FLAIR MR.
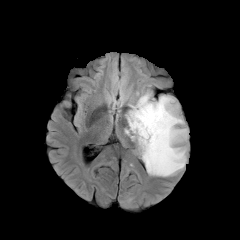
T1-weighted MR image.
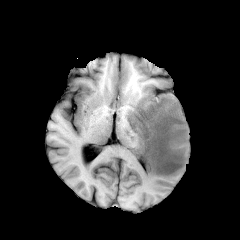
Post-contrast T1-weighted MRI.
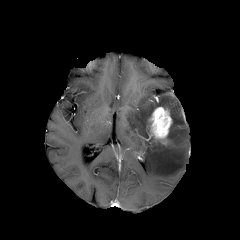
T2-weighted MRI.
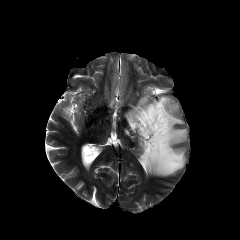
Axial plane
The peritumoral edema is located at [125,92,188,176]. The enhancing tumor lies within [148,107,172,139].